Head; Slice 120 of 155
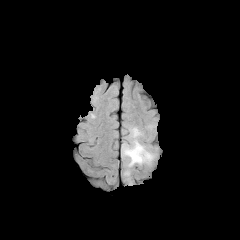
FLAIR MR image.
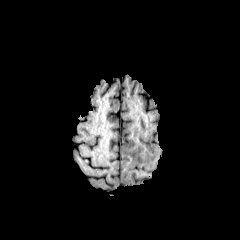
T1-weighted MRI of the same slice.
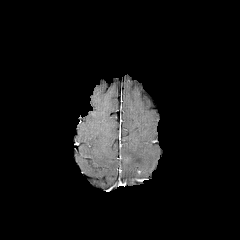
Post-contrast T1-weighted MR.
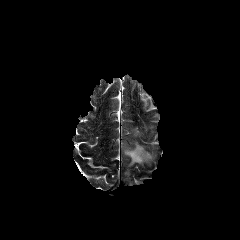
T2-weighted MRI.
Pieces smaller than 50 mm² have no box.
* peritumoral edema: box(131, 127, 140, 137); box(122, 140, 153, 166)